Axial view | 240x240 px
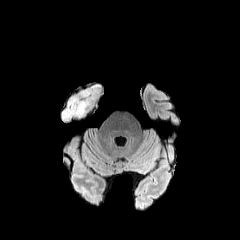
FLAIR MR.
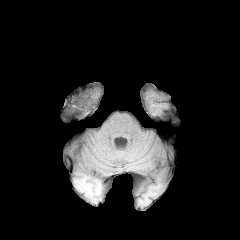
T1-weighted MRI.
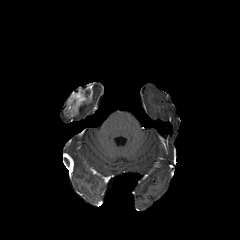
Same slice, post-contrast T1-weighted MR.
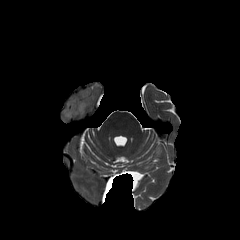
T2-weighted MRI.
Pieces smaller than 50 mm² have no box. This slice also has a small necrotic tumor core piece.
The 2 largest peritumoral edema regions are bounded by (x1=92, y1=84, x2=98, y2=100), (x1=77, y1=101, x2=91, y2=115). The enhancing tumor is bounded by (x1=65, y1=86, x2=92, y2=117).